240x240 px | Head | Slice index 71 | Axial plane
FLAIR MRI.
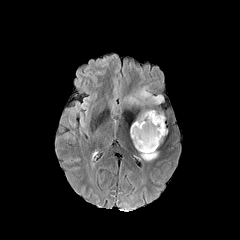
T1-weighted MR.
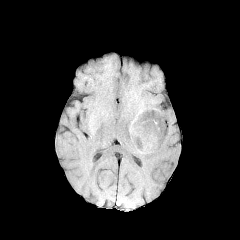
Post-contrast T1-weighted magnetic resonance.
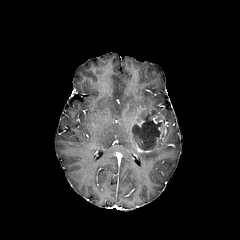
T2-weighted MRI.
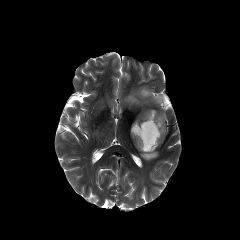
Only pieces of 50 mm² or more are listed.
enhancing tumor at (132, 112, 166, 152)
peritumoral edema at (135, 110, 158, 121), (137, 87, 163, 103), (140, 149, 158, 160)
necrotic tumor core at (133, 114, 161, 150)